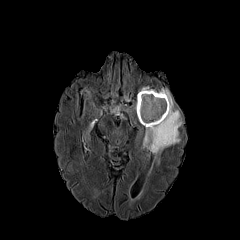
FLAIR MR.
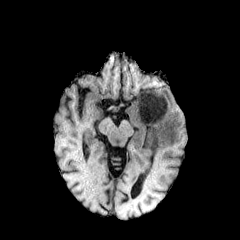
Same slice, T1-weighted MR image.
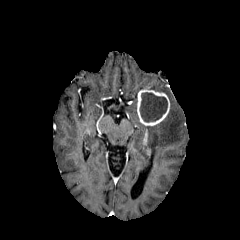
Same slice, post-contrast T1-weighted MR image.
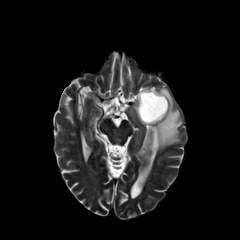
T2-weighted MR image.
Head
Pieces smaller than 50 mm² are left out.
enhancing tumor: rect(137, 88, 169, 126) | peritumoral edema: rect(144, 88, 182, 158) | necrotic tumor core: rect(140, 92, 167, 122)